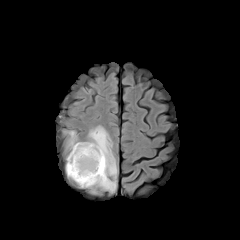
FLAIR MR image.
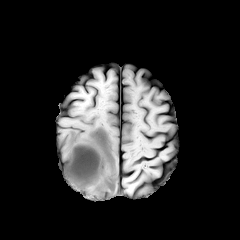
T1-weighted magnetic resonance.
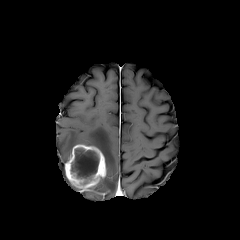
Post-contrast T1-weighted MRI.
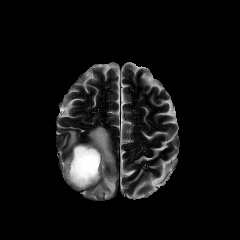
T2-weighted magnetic resonance of the same slice.
Head | 240x240
enhancing tumor: (65, 144, 106, 189) | necrotic tumor core: (70, 149, 98, 184) | peritumoral edema: (66, 126, 117, 193)